Image width 240 mm, 1.00 mm slice spacing; Brain; 240x240 px; Axial view
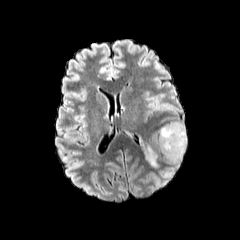
FLAIR MR.
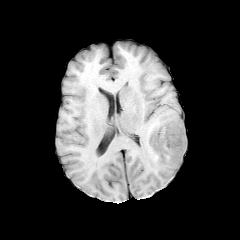
T1-weighted MRI of the same slice.
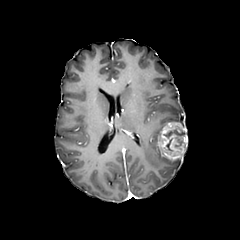
Post-contrast T1-weighted MR image.
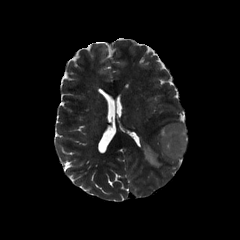
T2-weighted MRI.
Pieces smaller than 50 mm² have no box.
Segmented structures:
- enhancing tumor: l=154, t=121, r=187, b=161
- necrotic tumor core: l=164, t=130, r=183, b=137
- peritumoral edema: l=143, t=127, r=162, b=167